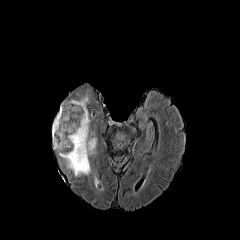
FLAIR MR image.
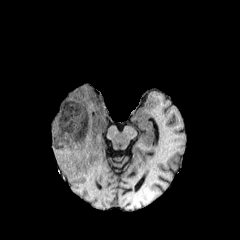
T1-weighted MR.
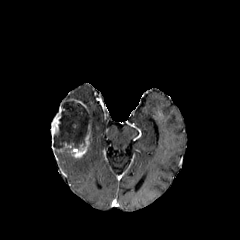
Same slice, post-contrast T1-weighted MR image.
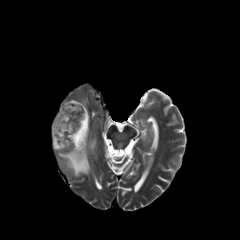
T2-weighted MR image.
Brain. 240x240 px.
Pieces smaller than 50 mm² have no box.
The largest necrotic tumor core region is at left=53, top=100, right=90, bottom=150. The 3 largest enhancing tumor regions are bounded by left=68, top=132, right=89, bottom=158; left=56, top=142, right=71, bottom=151; left=51, top=106, right=64, bottom=145. The 2 largest peritumoral edema regions are bounded by left=58, top=137, right=96, bottom=176; left=77, top=95, right=88, bottom=104.